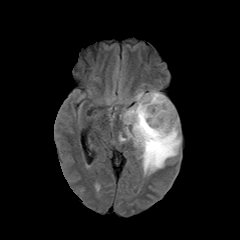
FLAIR MR image.
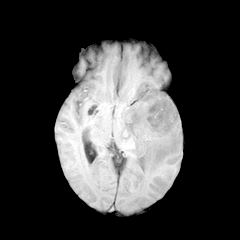
T1-weighted magnetic resonance of the same slice.
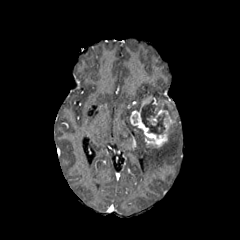
Post-contrast T1-weighted MRI of the same slice.
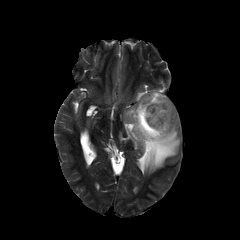
T2-weighted magnetic resonance.
240x240
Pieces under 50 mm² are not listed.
The largest enhancing tumor region is at x1=130 y1=95 x2=177 y2=147. The 2 largest necrotic tumor core regions are bounded by x1=163 y1=103 x2=174 y2=118, x1=141 y1=100 x2=165 y2=135. The 2 largest peritumoral edema regions appear at x1=132 y1=116 x2=181 y2=174, x1=122 y1=89 x2=167 y2=126.